FLAIR MR.
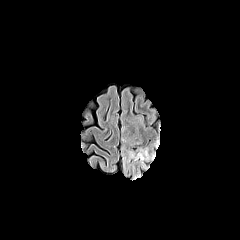
T1-weighted magnetic resonance.
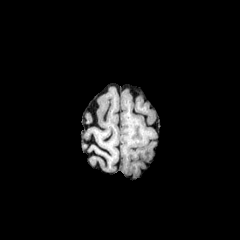
Post-contrast T1-weighted MR image.
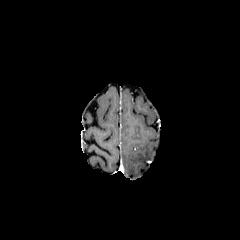
T2-weighted MR.
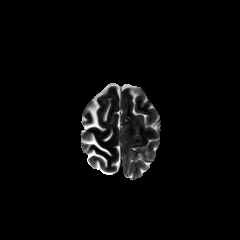
{"peritumoral_edema": ["[x1=120, y1=137, x2=159, y2=179]"]}